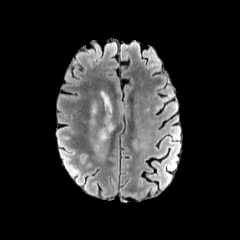
FLAIR MRI.
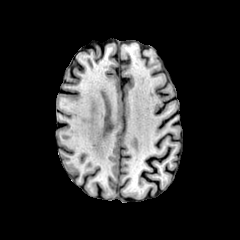
T1-weighted MRI.
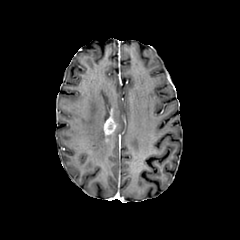
Same slice, post-contrast T1-weighted magnetic resonance.
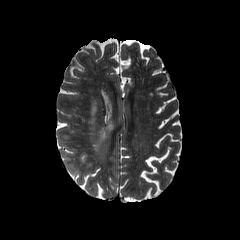
T2-weighted magnetic resonance.
Brain
enhancing tumor: bounding box [104, 118, 116, 135]
peritumoral edema: bounding box [101, 92, 109, 105], [91, 103, 96, 124], [99, 128, 108, 141]